FLAIR magnetic resonance.
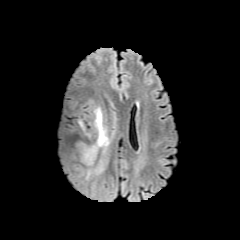
T1-weighted MR image.
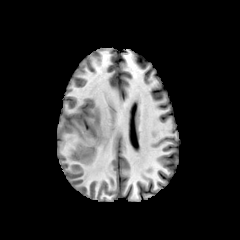
Post-contrast T1-weighted MR image.
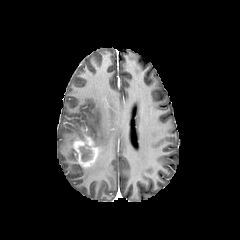
T2-weighted MRI.
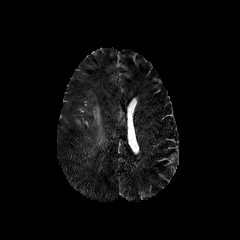
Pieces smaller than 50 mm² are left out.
The necrotic tumor core is bounded by x1=80 y1=147 x2=91 y2=161. The enhancing tumor is at x1=75 y1=136 x2=98 y2=166. The largest peritumoral edema region lies within x1=93 y1=106 x2=115 y2=173.